FLAIR MR image.
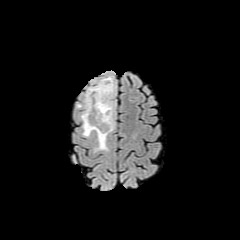
T1-weighted MR image.
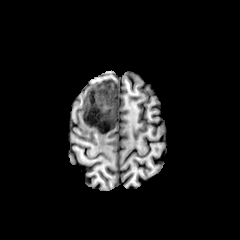
Post-contrast T1-weighted MR.
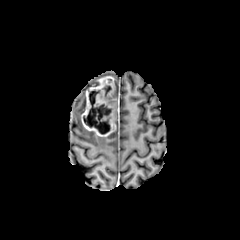
T2-weighted MR image.
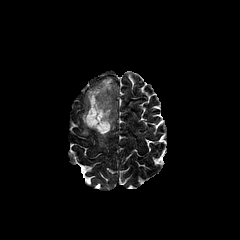
240x240 px.
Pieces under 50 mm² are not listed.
necrotic tumor core — box(83, 90, 111, 134); box(103, 86, 111, 97)
enhancing tumor — box(81, 76, 117, 136)
peritumoral edema — box(95, 136, 108, 151); box(82, 124, 92, 136)